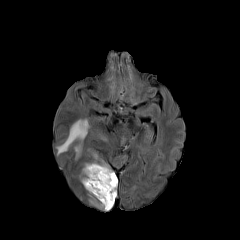
FLAIR magnetic resonance.
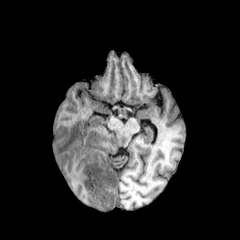
T1-weighted magnetic resonance.
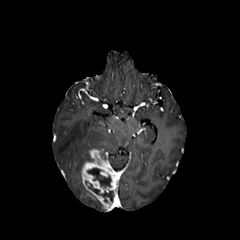
Post-contrast T1-weighted magnetic resonance.
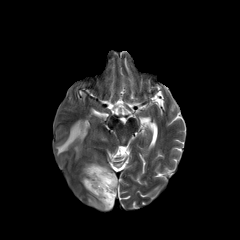
T2-weighted magnetic resonance.
Head
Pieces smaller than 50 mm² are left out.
{"necrotic_tumor_core": ["box(87, 168, 111, 187)", "box(88, 184, 113, 202)"], "peritumoral_edema": ["box(56, 119, 89, 158)", "box(89, 194, 105, 210)"], "enhancing_tumor": ["box(81, 149, 118, 211)"]}